Slice 86/155.
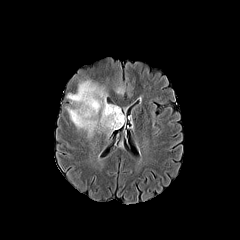
FLAIR MRI.
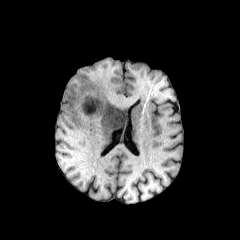
T1-weighted magnetic resonance.
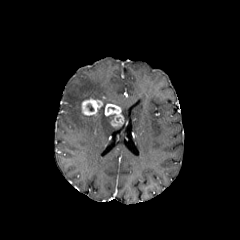
Same slice, post-contrast T1-weighted MR image.
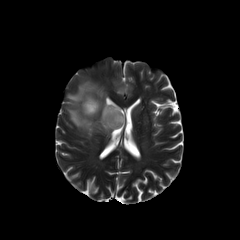
T2-weighted magnetic resonance.
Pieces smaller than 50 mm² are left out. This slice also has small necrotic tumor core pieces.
Annotated regions:
- enhancing tumor: <box>81,97,102,115</box>, <box>105,104,124,127</box>
- peritumoral edema: <box>66,71,118,136</box>